FLAIR magnetic resonance.
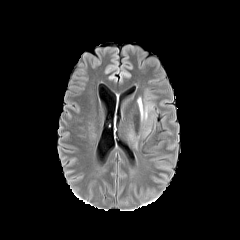
T1-weighted MRI.
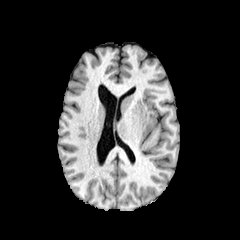
Post-contrast T1-weighted MR.
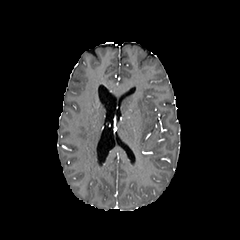
T2-weighted magnetic resonance.
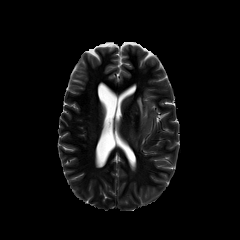
Brain; Axial view
peritumoral edema: box(137, 89, 157, 137); box(126, 130, 140, 149)